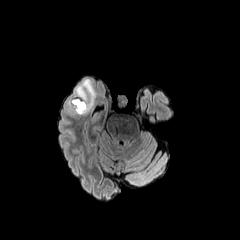
FLAIR MR image.
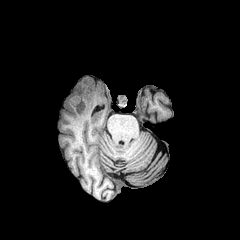
T1-weighted MR image.
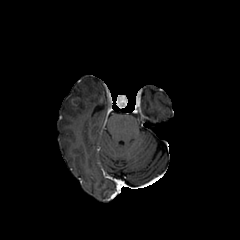
Post-contrast T1-weighted MR of the same slice.
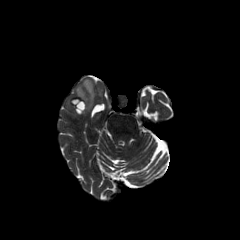
T2-weighted MR.
240x240
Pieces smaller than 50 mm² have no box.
peritumoral edema: [x1=74, y1=79, x2=95, y2=115] | enhancing tumor: [x1=71, y1=97, x2=80, y2=106]